FLAIR MR image.
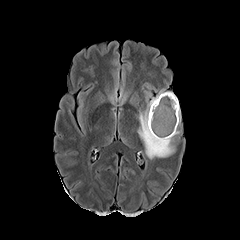
T1-weighted MRI.
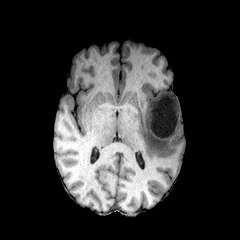
Post-contrast T1-weighted MRI.
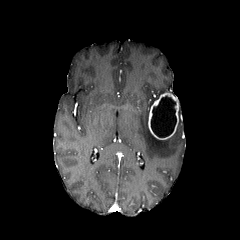
T2-weighted MR.
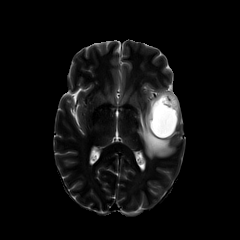
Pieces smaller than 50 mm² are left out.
enhancing tumor: {"x1": 148, "y1": 92, "x2": 178, "y2": 139}
peritumoral edema: {"x1": 178, "y1": 104, "x2": 181, "y2": 125}, {"x1": 138, "y1": 89, "x2": 179, "y2": 158}
necrotic tumor core: {"x1": 151, "y1": 95, "x2": 176, "y2": 137}